Brain | Image width 240 mm, 1.00 mm slice spacing
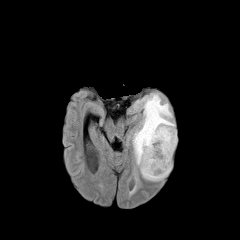
FLAIR MR.
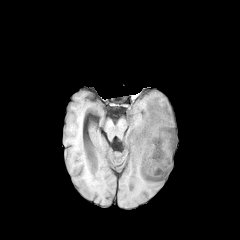
T1-weighted MR image of the same slice.
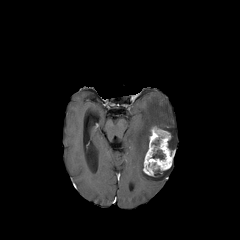
Post-contrast T1-weighted magnetic resonance of the same slice.
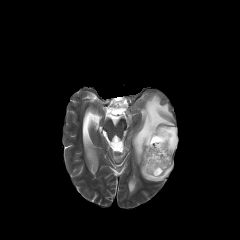
T2-weighted magnetic resonance.
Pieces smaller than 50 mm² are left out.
enhancing tumor at [143, 126, 174, 176]
peritumoral edema at [132, 93, 177, 181]
necrotic tumor core at [152, 150, 163, 159]